Brain; Axial slice; 240x240 px
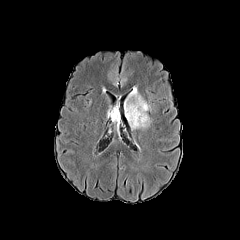
FLAIR MRI.
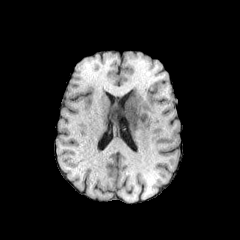
Same slice, T1-weighted MR image.
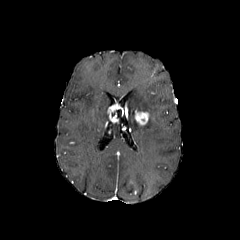
Same slice, post-contrast T1-weighted magnetic resonance.
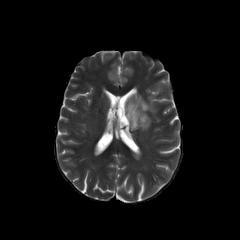
T2-weighted MR image.
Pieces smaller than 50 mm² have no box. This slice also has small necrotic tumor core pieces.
The 2 largest peritumoral edema regions appear at [128, 117, 149, 128], [127, 87, 150, 114]. The enhancing tumor is located at [107, 103, 149, 125].